FLAIR MR.
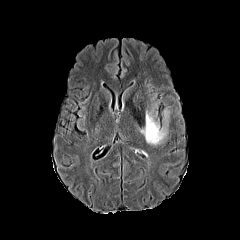
T1-weighted MRI.
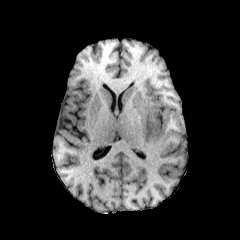
Post-contrast T1-weighted MRI.
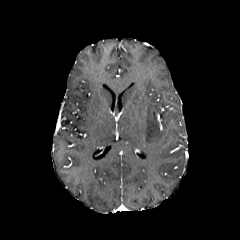
T2-weighted MRI.
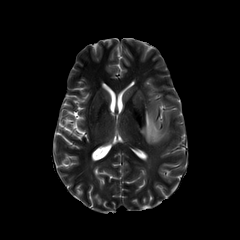
Head
peritumoral_edema:
  - 141:93:173:145